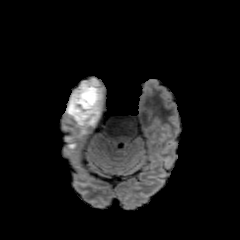
FLAIR MR image.
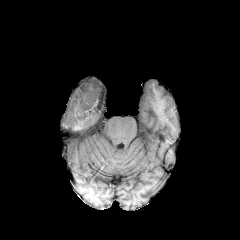
T1-weighted MRI.
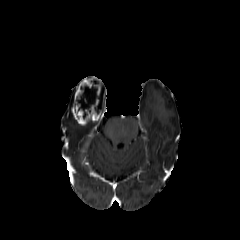
Post-contrast T1-weighted MR image.
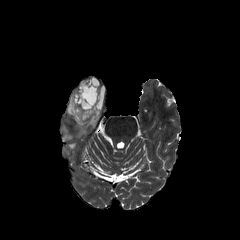
T2-weighted MR.
Head. Axial view.
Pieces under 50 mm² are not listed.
peritumoral edema at x1=99, y1=79, x2=105, y2=112; x1=75, y1=120, x2=97, y2=136; x1=66, y1=90, x2=75, y2=118
necrotic tumor core at x1=76, y1=86, x2=103, y2=118
enhancing tumor at x1=71, y1=76, x2=104, y2=125